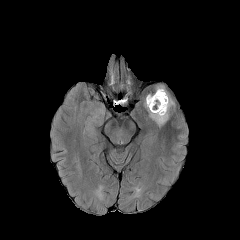
FLAIR MR image.
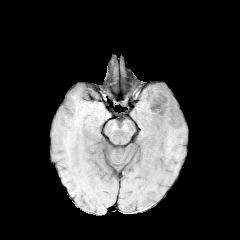
T1-weighted MR image.
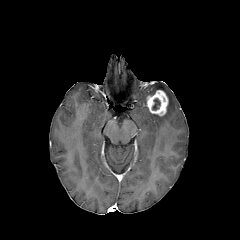
Post-contrast T1-weighted MRI.
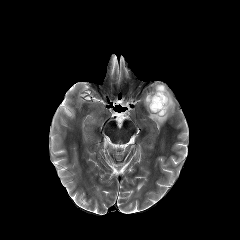
T2-weighted MR image.
Axial slice, 240x240 px
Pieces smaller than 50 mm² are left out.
The peritumoral edema is at box=[144, 85, 174, 127]. The enhancing tumor appears at box=[147, 90, 168, 115]. The largest necrotic tumor core region is located at box=[152, 98, 160, 110].